Head, Axial plane, Image width 240 mm, 1.00 mm slice spacing, Slice index 43
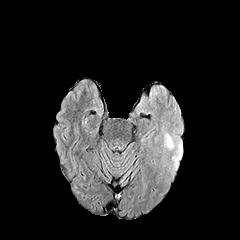
FLAIR magnetic resonance.
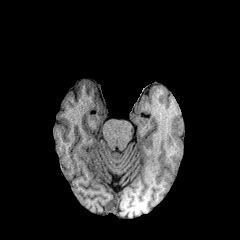
T1-weighted MR image.
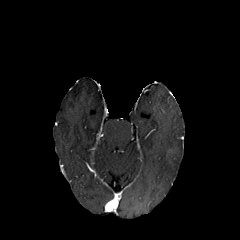
Same slice, post-contrast T1-weighted MRI.
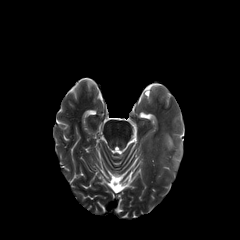
Same slice, T2-weighted MR.
peritumoral edema: (174, 142, 182, 166), (164, 133, 174, 149)